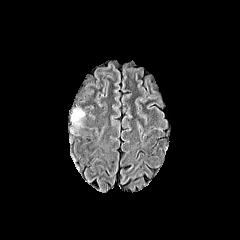
FLAIR MRI.
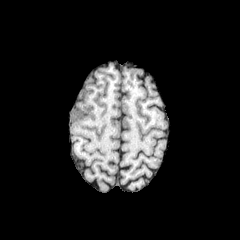
Same slice, T1-weighted magnetic resonance.
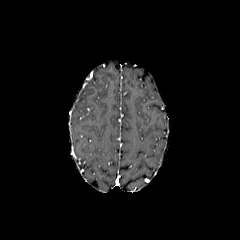
Post-contrast T1-weighted magnetic resonance.
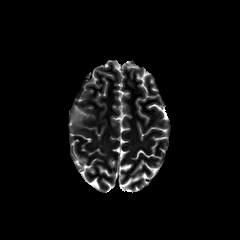
T2-weighted magnetic resonance.
Axial slice
The peritumoral edema lies within rect(72, 109, 84, 126).